240x240 px
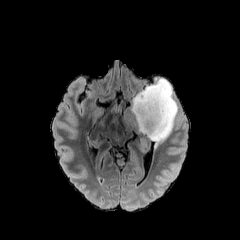
FLAIR MR image.
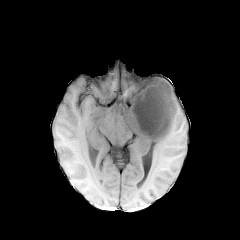
T1-weighted magnetic resonance of the same slice.
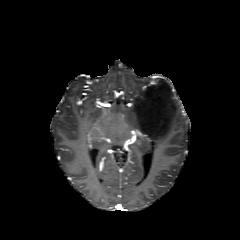
Post-contrast T1-weighted MR.
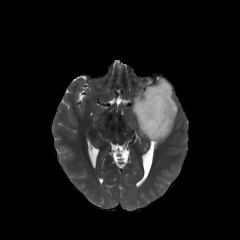
T2-weighted MR image.
The peritumoral edema lies within {"x1": 124, "y1": 78, "x2": 177, "y2": 145}.